240x240 px; Brain; Axial view; Slice index 115
FLAIR magnetic resonance.
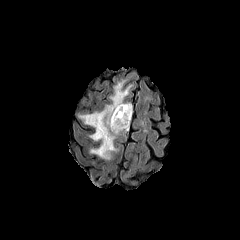
T1-weighted MRI.
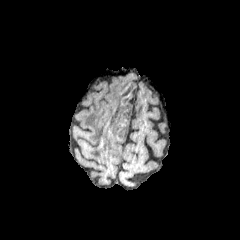
Post-contrast T1-weighted magnetic resonance.
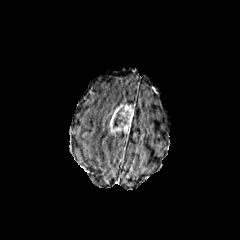
T2-weighted MRI.
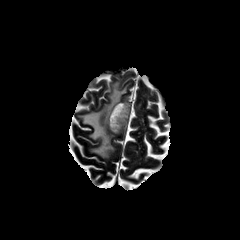
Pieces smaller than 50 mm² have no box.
necrotic tumor core: <box>113,109,127,127</box>
peritumoral edema: <box>79,82,131,160</box>
enhancing tumor: <box>109,104,133,135</box>